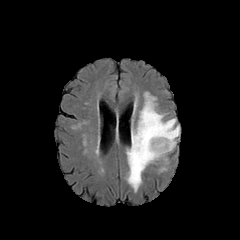
FLAIR MR image.
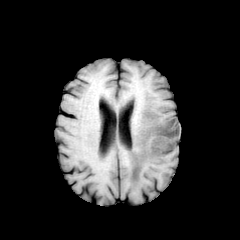
T1-weighted MRI.
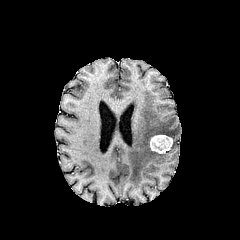
Post-contrast T1-weighted MR image.
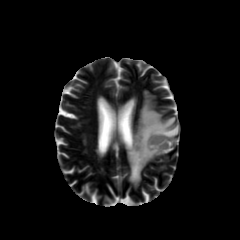
T2-weighted MRI of the same slice.
Image size 240x240
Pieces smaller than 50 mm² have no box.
peritumoral edema — x1=126 y1=92 x2=179 y2=191
enhancing tumor — x1=149 y1=134 x2=173 y2=153